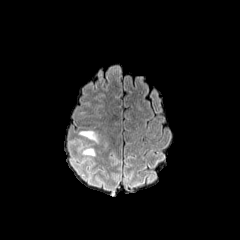
FLAIR MR.
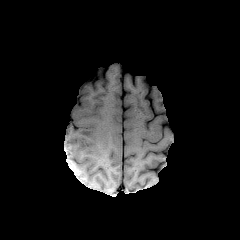
Same slice, T1-weighted MRI.
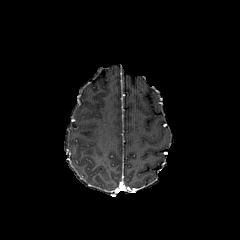
Post-contrast T1-weighted magnetic resonance.
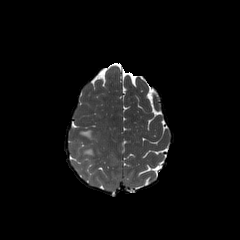
T2-weighted magnetic resonance.
Brain; Axial slice; 240x240 px
peritumoral_edema:
  - rect(79, 130, 107, 148)
  - rect(82, 148, 96, 156)